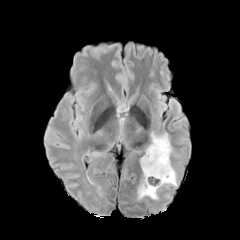
FLAIR MRI.
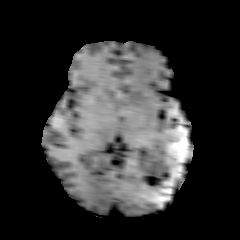
T1-weighted MRI.
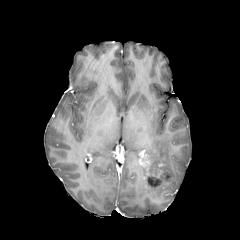
Post-contrast T1-weighted MR.
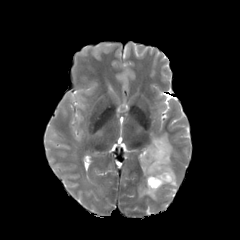
T2-weighted MRI of the same slice.
240x240
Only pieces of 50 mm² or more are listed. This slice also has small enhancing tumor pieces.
peritumoral edema — (left=138, top=131, right=177, bottom=198)